FLAIR MR.
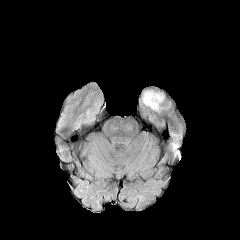
T1-weighted magnetic resonance.
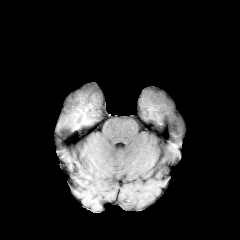
Post-contrast T1-weighted MR.
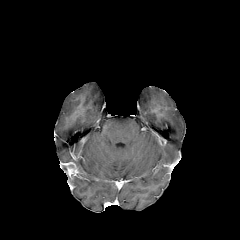
T2-weighted MR image.
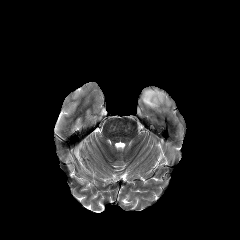
Brain, Image size 240x240
Segmented structures:
* peritumoral edema: 142,90,163,110